Brain. Axial view.
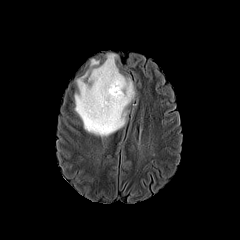
FLAIR MR.
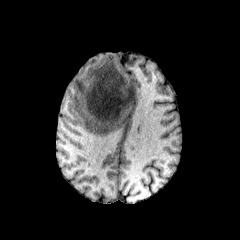
T1-weighted magnetic resonance.
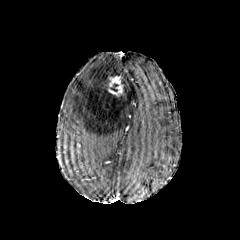
Post-contrast T1-weighted MR image.
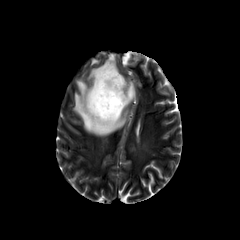
Same slice, T2-weighted MR image.
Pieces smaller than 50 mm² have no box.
necrotic tumor core = 104 74 124 97
peritumoral edema = 74 53 135 137
enhancing tumor = 108 75 123 95